Slice 97/155 | Axial slice
FLAIR MRI.
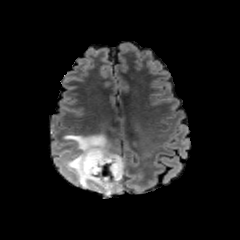
T1-weighted MRI.
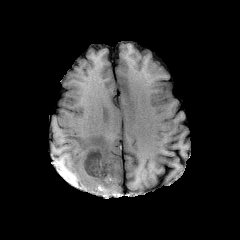
Post-contrast T1-weighted MR image.
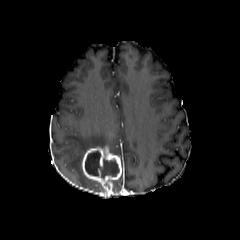
T2-weighted magnetic resonance.
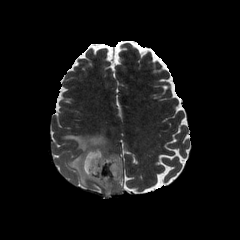
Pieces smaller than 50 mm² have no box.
The necrotic tumor core lies within x1=85 y1=151 x2=119 y2=178. The 2 largest peritumoral edema regions are bounded by x1=113 y1=175 x2=123 y2=191, x1=63 y1=134 x2=116 y2=190. The enhancing tumor lies within x1=82 y1=147 x2=123 y2=191.